FLAIR MR.
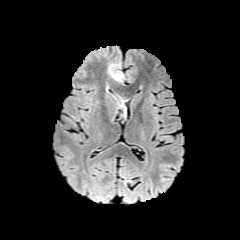
T1-weighted MR image.
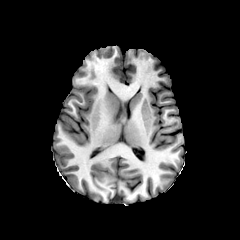
Post-contrast T1-weighted MRI.
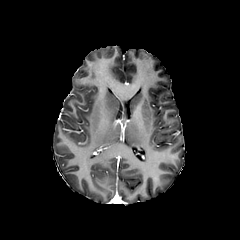
T2-weighted MR.
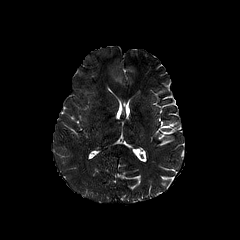
Axial slice, Head
The peritumoral edema appears at [109, 67, 123, 81].